Image width 240 mm; 240x240; Brain
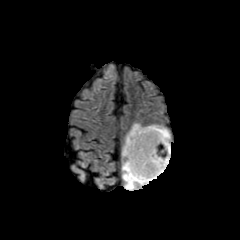
FLAIR MR image.
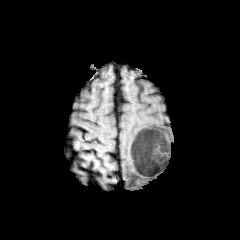
T1-weighted magnetic resonance of the same slice.
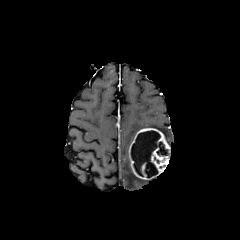
Post-contrast T1-weighted MRI.
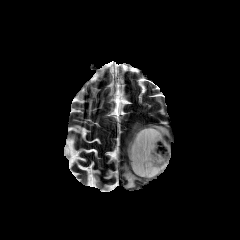
T2-weighted magnetic resonance.
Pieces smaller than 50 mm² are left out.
peritumoral edema: bounding box 122,123,170,190
enhancing tumor: bounding box 128,128,170,179
necrotic tumor core: bounding box 131,131,167,177